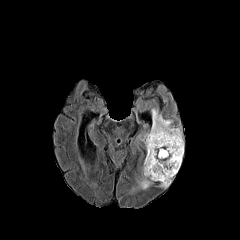
FLAIR MRI.
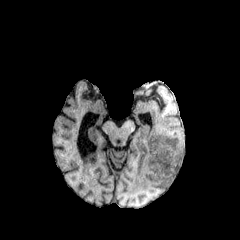
T1-weighted magnetic resonance.
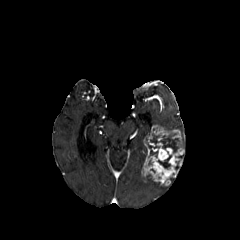
Same slice, post-contrast T1-weighted MR image.
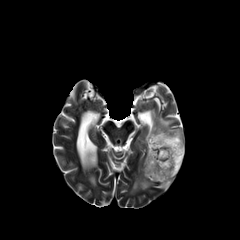
Same slice, T2-weighted MR.
Axial view | Brain
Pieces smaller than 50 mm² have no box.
The 4 largest necrotic tumor core regions are bounded by x1=150, y1=134, x2=159, y2=144; x1=148, y1=144, x2=157, y2=157; x1=160, y1=135, x2=178, y2=152; x1=158, y1=155, x2=171, y2=168. The largest enhancing tumor region lies within x1=141, y1=125, x2=184, y2=186. The 2 largest peritumoral edema regions are located at x1=138, y1=176, x2=153, y2=189; x1=151, y1=109, x2=181, y2=133.